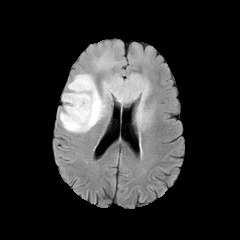
FLAIR MR image.
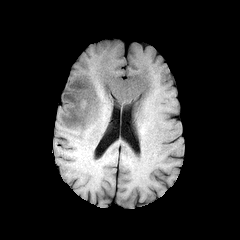
T1-weighted MR.
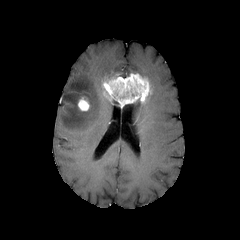
Post-contrast T1-weighted magnetic resonance.
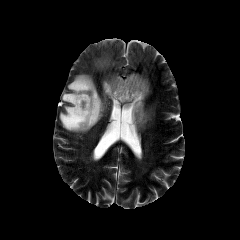
Same slice, T2-weighted MR image.
Head
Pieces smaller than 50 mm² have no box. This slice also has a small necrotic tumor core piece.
peritumoral edema — box(93, 50, 118, 70); box(136, 101, 152, 127); box(59, 72, 108, 133)
enhancing tumor — box(77, 96, 90, 111); box(102, 73, 150, 106)